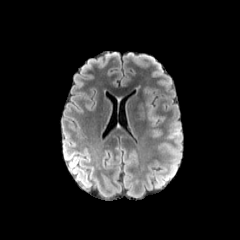
FLAIR MR image.
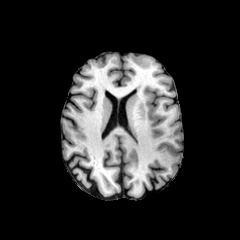
T1-weighted magnetic resonance.
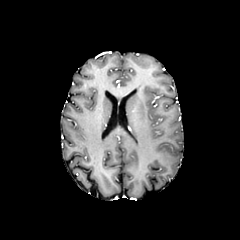
Post-contrast T1-weighted MR.
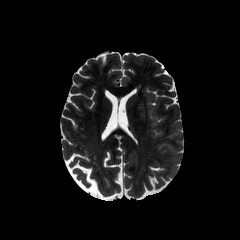
T2-weighted MRI.
{"peritumoral_edema": ["143, 86, 156, 119", "174, 128, 182, 135"]}